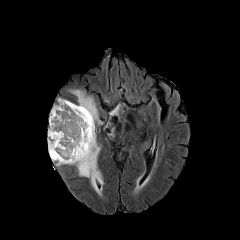
FLAIR MRI.
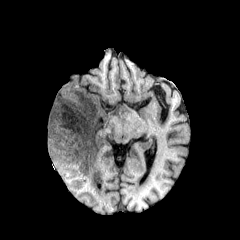
T1-weighted MR image of the same slice.
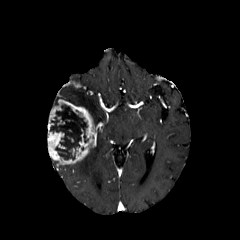
Post-contrast T1-weighted MR.
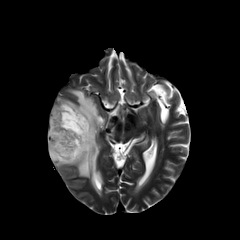
Same slice, T2-weighted MR.
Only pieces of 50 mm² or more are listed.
The 3 largest peritumoral edema regions are located at bbox(70, 90, 99, 123); bbox(110, 106, 118, 115); bbox(74, 145, 103, 194). The largest necrotic tumor core region lies within bbox(50, 105, 88, 159). The largest enhancing tumor region is bounded by bbox(47, 99, 96, 165).